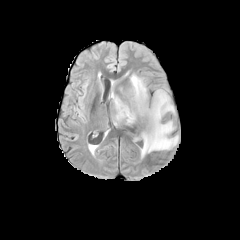
FLAIR MR.
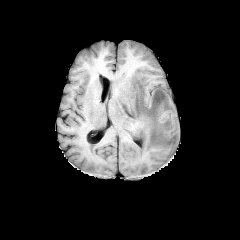
Same slice, T1-weighted MRI.
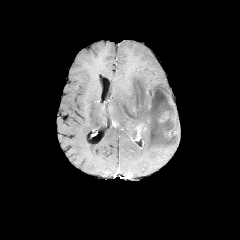
Post-contrast T1-weighted MR image.
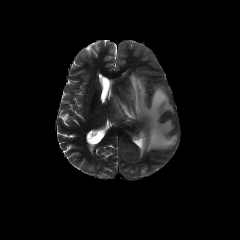
T2-weighted MRI.
Head
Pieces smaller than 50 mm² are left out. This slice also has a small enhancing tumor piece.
peritumoral edema: [111,74,178,157]